Axial view; Head; Slice index 56
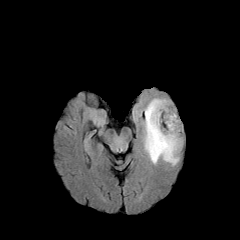
FLAIR MR.
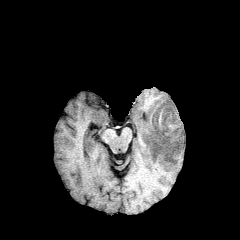
T1-weighted magnetic resonance of the same slice.
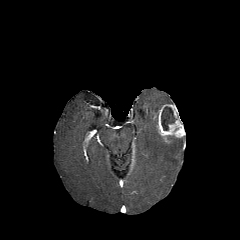
Post-contrast T1-weighted MRI of the same slice.
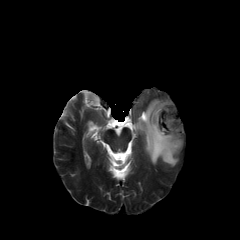
T2-weighted MR.
{
  "enhancing_tumor": [
    "<bbox>153, 104, 184, 143</bbox>"
  ],
  "peritumoral_edema": [
    "<bbox>142, 98, 182, 166</bbox>"
  ],
  "necrotic_tumor_core": [
    "<bbox>161, 107, 176, 130</bbox>"
  ]
}